FLAIR MR.
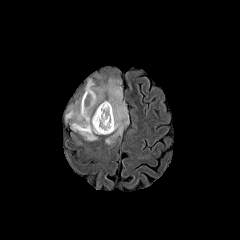
T1-weighted MR.
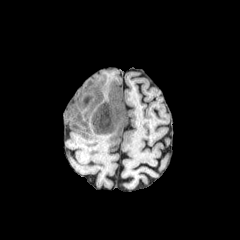
Post-contrast T1-weighted MR.
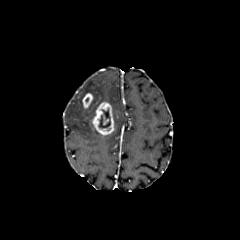
T2-weighted MRI.
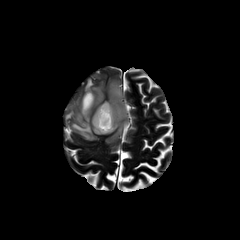
Brain, Axial plane
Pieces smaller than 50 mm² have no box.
peritumoral edema: <bbox>65, 78, 128, 144</bbox>
enhancing tumor: <bbox>91, 101, 114, 135</bbox>, <bbox>82, 93, 93, 109</bbox>
necrotic tumor core: <bbox>99, 116, 110, 128</bbox>